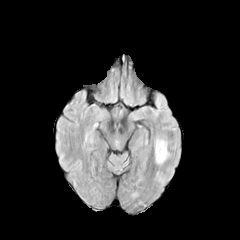
FLAIR MRI.
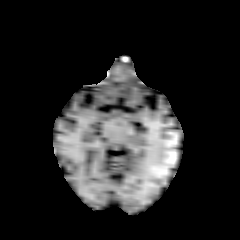
T1-weighted MRI of the same slice.
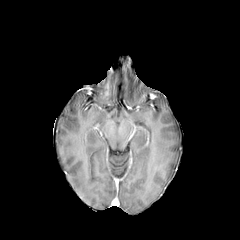
Post-contrast T1-weighted magnetic resonance.
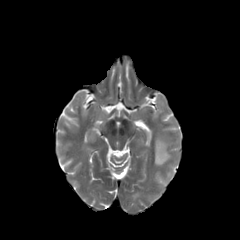
T2-weighted MRI of the same slice.
The peritumoral edema is located at box(155, 137, 169, 164).